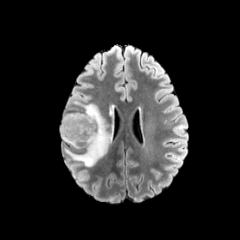
FLAIR MRI.
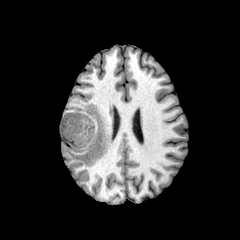
T1-weighted MR image.
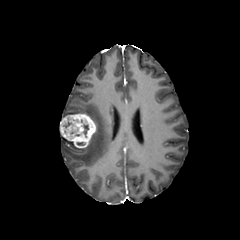
Post-contrast T1-weighted MR.
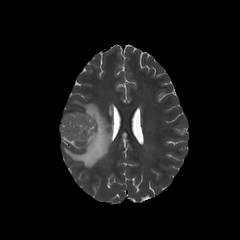
T2-weighted MR image.
Head
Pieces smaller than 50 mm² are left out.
enhancing tumor at bbox=[60, 113, 96, 148]
peritumoral edema at bbox=[61, 103, 111, 167]
necrotic tumor core at bbox=[83, 123, 88, 137]